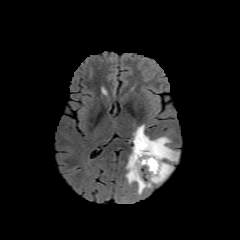
FLAIR MR.
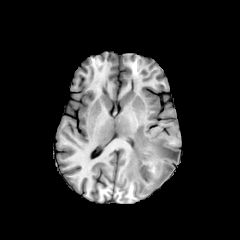
Same slice, T1-weighted MR.
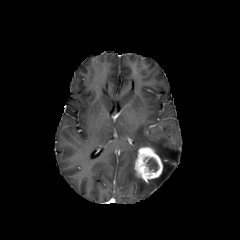
Post-contrast T1-weighted MR.
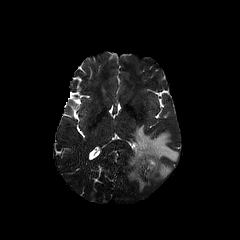
T2-weighted MR of the same slice.
Axial view, Image size 240x240
necrotic tumor core: box(147, 158, 157, 171)
enhancing tumor: box(133, 145, 162, 181)
peritumoral edema: box(126, 125, 178, 193)